FLAIR magnetic resonance.
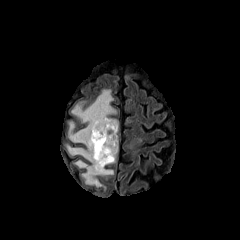
T1-weighted MRI.
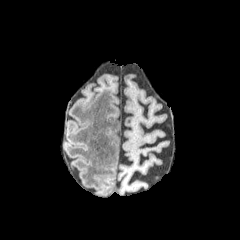
Post-contrast T1-weighted MR.
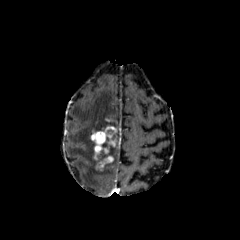
T2-weighted MR image.
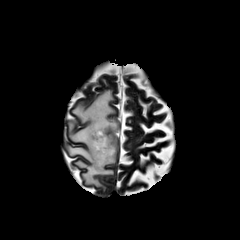
Brain
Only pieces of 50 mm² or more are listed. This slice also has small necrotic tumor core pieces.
The 2 largest peritumoral edema regions appear at left=66, top=89, right=115, bottom=189; left=105, top=142, right=117, bottom=165. The largest enhancing tumor region is at left=90, top=125, right=119, bottom=170.